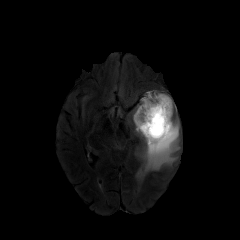
FLAIR MR image.
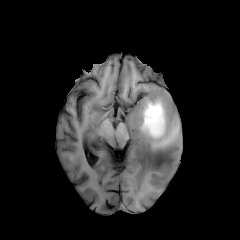
T1-weighted magnetic resonance.
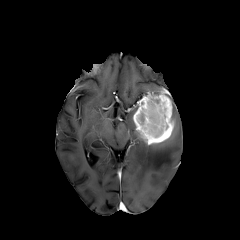
Same slice, post-contrast T1-weighted MR.
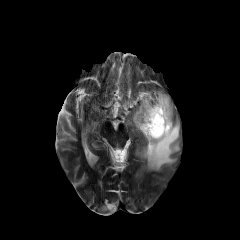
Same slice, T2-weighted magnetic resonance.
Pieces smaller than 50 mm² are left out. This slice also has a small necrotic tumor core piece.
<segmentation>
  <peritumoral_edema><bbox>128, 104, 140, 137</bbox>, <bbox>139, 93, 180, 172</bbox></peritumoral_edema>
  <enhancing_tumor><bbox>133, 90, 174, 144</bbox></enhancing_tumor>
</segmentation>